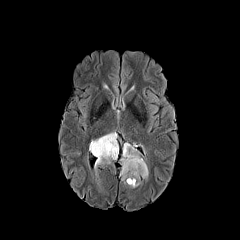
FLAIR MR.
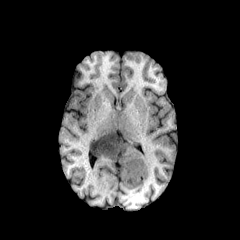
Same slice, T1-weighted MR image.
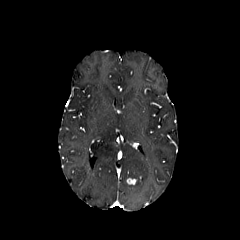
Post-contrast T1-weighted MRI.
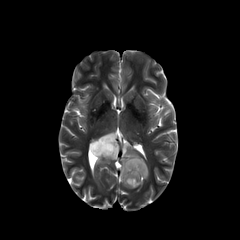
Same slice, T2-weighted MRI.
Image size 240x240; Head; Axial view
Annotated regions:
• peritumoral edema: (89, 132, 118, 168), (120, 143, 148, 187)
• enhancing tumor: (126, 178, 136, 184)